FLAIR MRI.
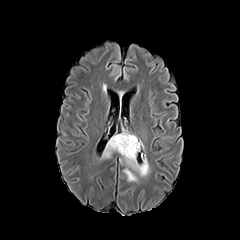
T1-weighted MR image.
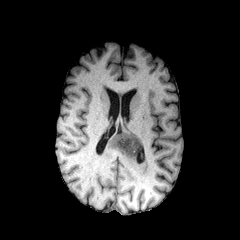
Post-contrast T1-weighted MRI.
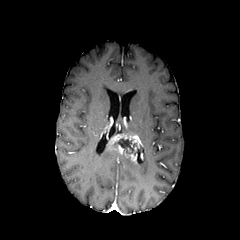
T2-weighted MR.
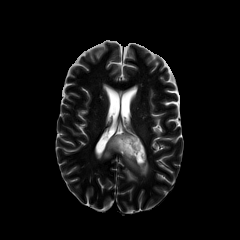
Axial view
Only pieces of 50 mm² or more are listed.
enhancing tumor: <box>108,133,142,163</box>
necrotic tumor core: <box>114,138,136,153</box>
peritumoral edema: <box>122,154,149,176</box>, <box>102,142,117,158</box>, <box>123,168,137,181</box>